FLAIR magnetic resonance.
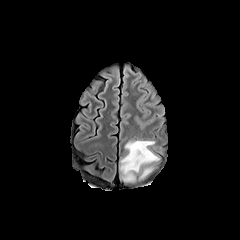
T1-weighted MRI.
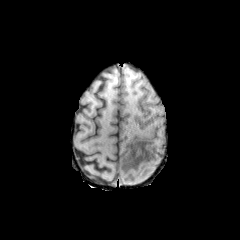
Post-contrast T1-weighted MR.
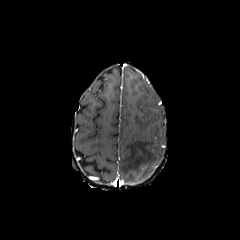
T2-weighted MRI.
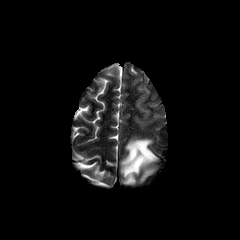
Brain
peritumoral edema: bounding box region(120, 139, 158, 182); region(138, 166, 155, 179)